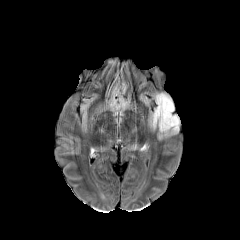
FLAIR magnetic resonance.
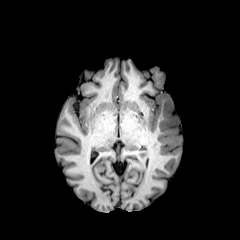
T1-weighted magnetic resonance of the same slice.
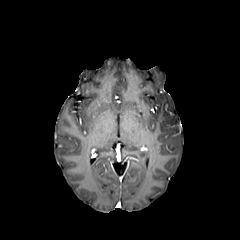
Post-contrast T1-weighted MR image.
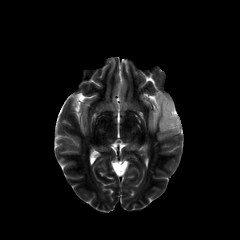
T2-weighted MR image.
peritumoral edema — rect(153, 93, 179, 137)